FLAIR magnetic resonance.
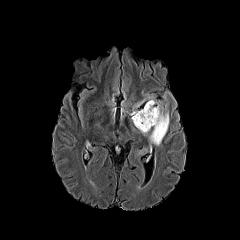
T1-weighted magnetic resonance.
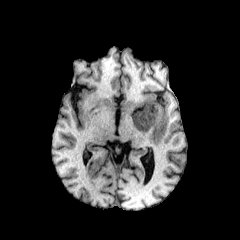
Post-contrast T1-weighted MR.
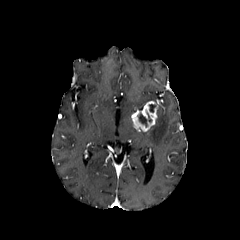
T2-weighted MR.
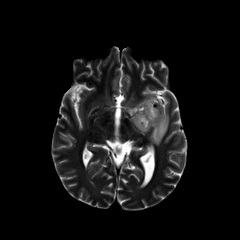
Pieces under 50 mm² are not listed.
- necrotic tumor core: (left=138, top=113, right=151, bottom=126)
- enhancing tumor: (left=132, top=101, right=158, bottom=131)
- peritumoral edema: (left=148, top=103, right=169, bottom=145), (left=131, top=94, right=154, bottom=114)